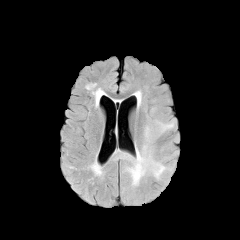
FLAIR MR image.
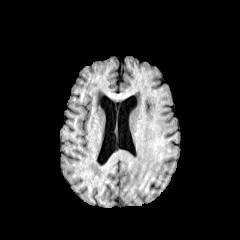
T1-weighted magnetic resonance.
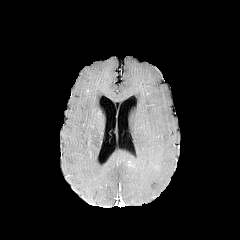
Post-contrast T1-weighted MRI.
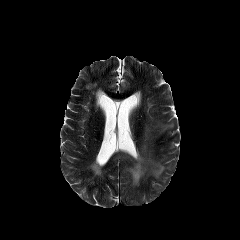
T2-weighted MR of the same slice.
Head; 240x240
2 peritumoral edema regions are bounded by 123,120,174,186; 136,91,141,106.